Head.
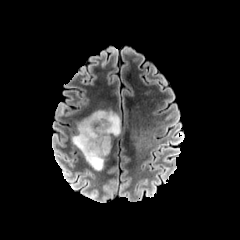
FLAIR MR image.
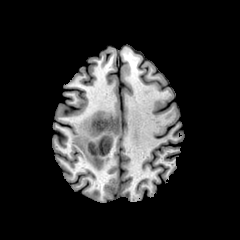
T1-weighted MR image.
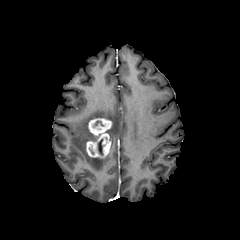
Post-contrast T1-weighted MRI.
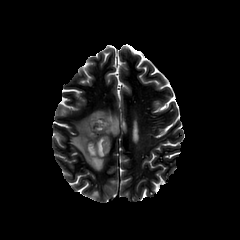
T2-weighted magnetic resonance of the same slice.
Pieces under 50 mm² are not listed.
enhancing tumor = (86,133,111,157), (88,118,112,135)
necrotic tumor core = (98,139,102,155)
peritumoral edema = (71,110,120,171)